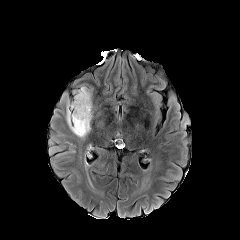
FLAIR magnetic resonance.
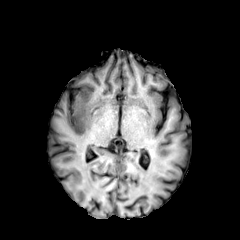
Same slice, T1-weighted magnetic resonance.
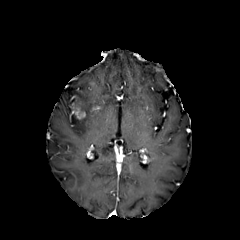
Post-contrast T1-weighted magnetic resonance.
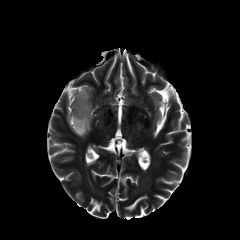
T2-weighted MR of the same slice.
Image size 240x240
{
  "enhancing_tumor": [
    "box(70, 103, 85, 119)"
  ],
  "peritumoral_edema": [
    "box(66, 86, 92, 137)"
  ]
}